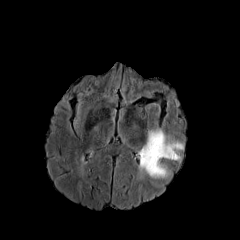
FLAIR MR image.
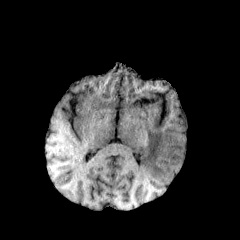
T1-weighted MR image.
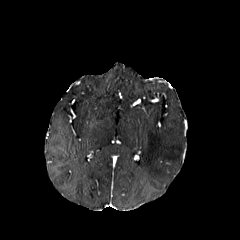
Same slice, post-contrast T1-weighted magnetic resonance.
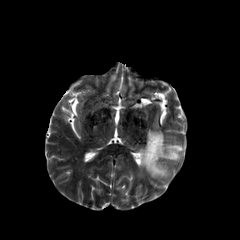
T2-weighted MR image of the same slice.
Head | Axial slice
peritumoral edema at left=139, top=130, right=183, bottom=177